FLAIR MR image.
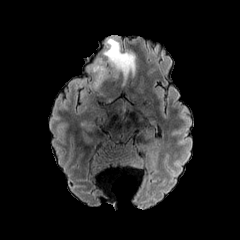
T1-weighted magnetic resonance.
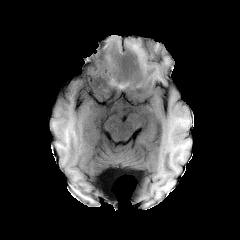
Post-contrast T1-weighted magnetic resonance.
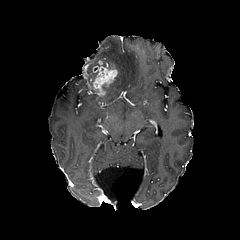
T2-weighted magnetic resonance.
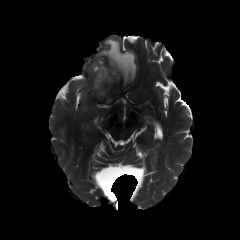
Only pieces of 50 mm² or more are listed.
The largest peritumoral edema region is located at [x1=101, y1=38, x2=136, y2=82]. The enhancing tumor is at [x1=92, y1=61, x2=117, y2=96].